Slice 77 of 155
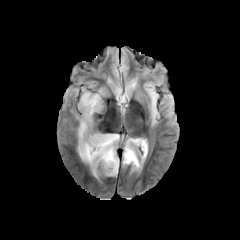
FLAIR magnetic resonance.
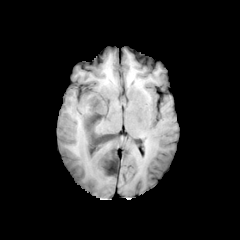
T1-weighted MR image.
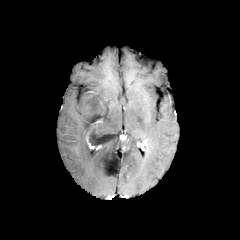
Post-contrast T1-weighted magnetic resonance.
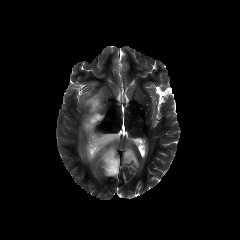
Same slice, T2-weighted MR image.
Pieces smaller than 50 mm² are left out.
necrotic tumor core: bounding box (x1=104, y1=152, x2=118, y2=174), (x1=87, y1=117, x2=113, y2=147)
peritumoral edema: bounding box (x1=78, y1=93, x2=119, y2=177), (x1=122, y1=138, x2=147, y2=169)